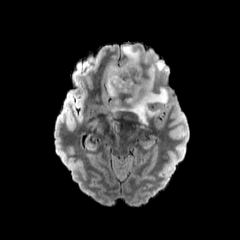
FLAIR MR image.
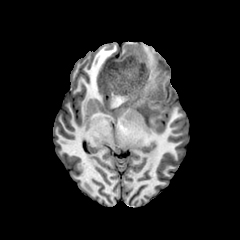
Same slice, T1-weighted MR.
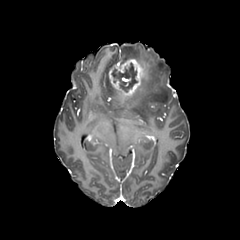
Post-contrast T1-weighted MR image of the same slice.
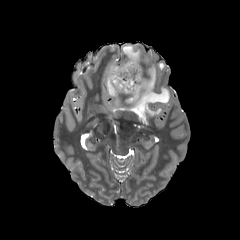
T2-weighted MRI of the same slice.
Axial view
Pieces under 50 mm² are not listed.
The largest enhancing tumor region is at <box>108,58,146,96</box>. The 3 largest peritumoral edema regions are bounded by <box>127,61,168,123</box>, <box>106,61,117,96</box>, <box>122,45,140,61</box>. The necrotic tumor core is bounded by <box>112,63,137,91</box>.